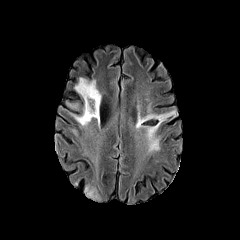
FLAIR magnetic resonance.
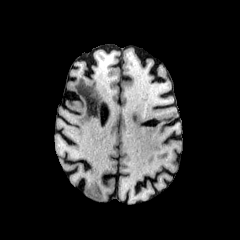
Same slice, T1-weighted MR image.
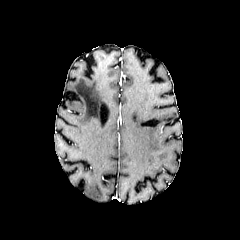
Post-contrast T1-weighted MRI.
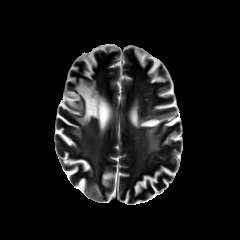
T2-weighted MR.
Head
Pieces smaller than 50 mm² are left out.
The 3 largest peritumoral edema regions appear at (left=136, top=110, right=175, bottom=152), (left=84, top=184, right=101, bottom=200), (left=71, top=77, right=101, bottom=125).